240x240. Brain.
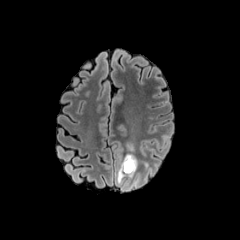
FLAIR MR image.
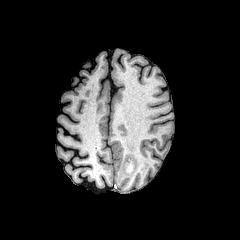
Same slice, T1-weighted MRI.
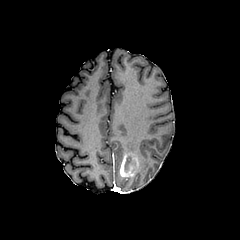
Post-contrast T1-weighted magnetic resonance of the same slice.
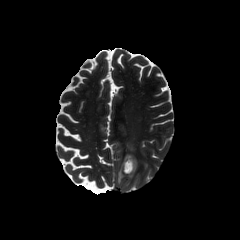
T2-weighted magnetic resonance.
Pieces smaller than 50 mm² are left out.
The necrotic tumor core is bounded by (124,159,129,172). The largest peritumoral edema region lies within (117,162,124,184). The enhancing tumor is bounded by (119,154,137,177).